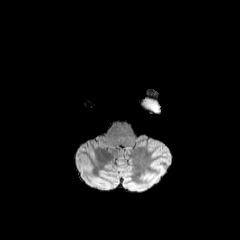
FLAIR MR.
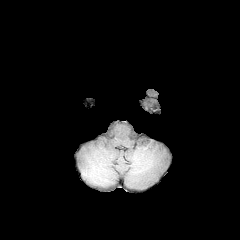
T1-weighted MRI.
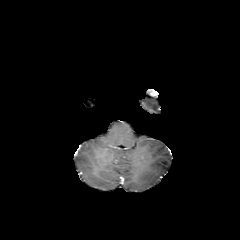
Same slice, post-contrast T1-weighted MR image.
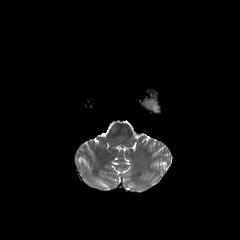
T2-weighted MRI.
Axial slice
{"peritumoral_edema": ["152 102 160 112"]}